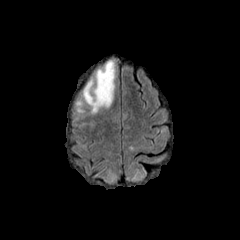
FLAIR MR image.
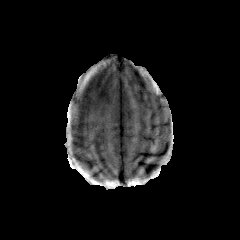
Same slice, T1-weighted magnetic resonance.
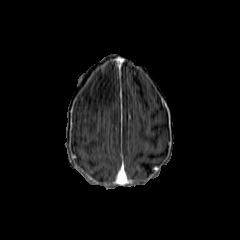
Post-contrast T1-weighted magnetic resonance.
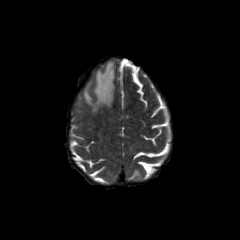
T2-weighted magnetic resonance.
Image size 240x240.
peritumoral_edema:
  - bbox(76, 99, 83, 112)
  - bbox(82, 60, 115, 114)